Image covers 240 mm x 240 mm | Brain | Axial plane
FLAIR MRI.
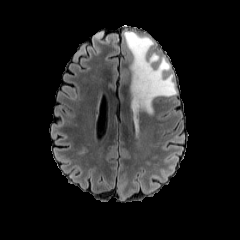
T1-weighted MR.
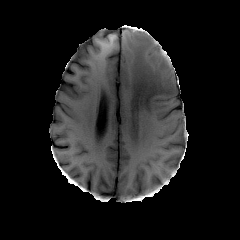
Post-contrast T1-weighted MR.
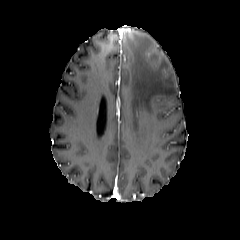
T2-weighted MRI.
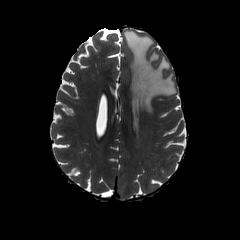
peritumoral edema: l=123, t=31, r=176, b=113